FLAIR magnetic resonance.
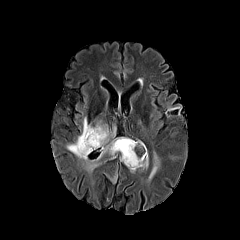
T1-weighted MR image.
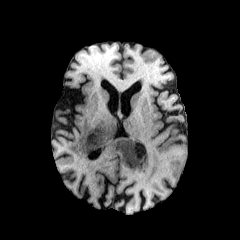
Post-contrast T1-weighted magnetic resonance.
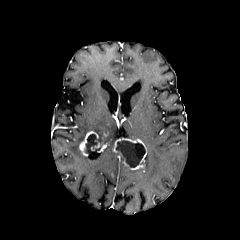
T2-weighted MR.
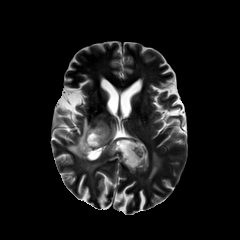
Brain; 240x240
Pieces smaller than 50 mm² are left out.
The 4 largest peritumoral edema regions appear at [148,152,159,180], [67,117,115,172], [143,153,148,168], [110,171,117,183]. The 2 largest enhancing tumor regions are located at [79,131,98,156], [113,138,147,169]. 2 necrotic tumor core regions are located at [116,140,145,167], [85,133,103,153].